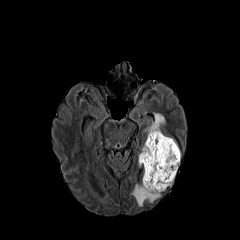
FLAIR MR image.
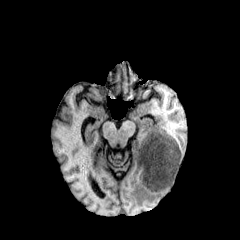
Same slice, T1-weighted MRI.
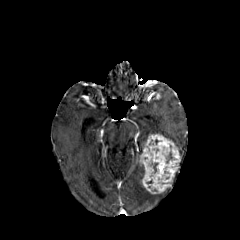
Post-contrast T1-weighted MR.
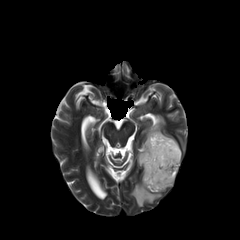
Same slice, T2-weighted MR.
Axial view
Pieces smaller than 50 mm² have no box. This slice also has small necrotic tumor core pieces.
enhancing tumor — x1=139 y1=133 x2=180 y2=193
peritumoral edema — x1=130 y1=183 x2=161 y2=206, x1=141 y1=113 x2=178 y2=147